FLAIR MRI.
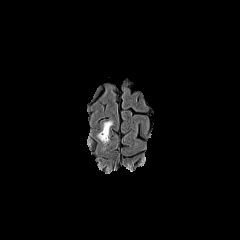
T1-weighted MR image.
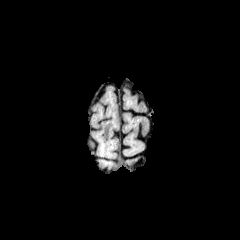
Post-contrast T1-weighted MR.
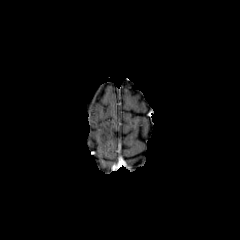
T2-weighted magnetic resonance.
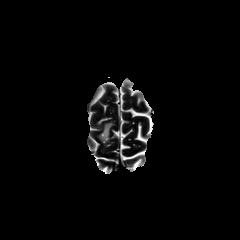
240x240, Head
* peritumoral edema: 98 121 112 143